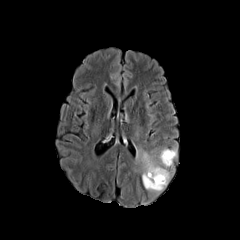
FLAIR MRI.
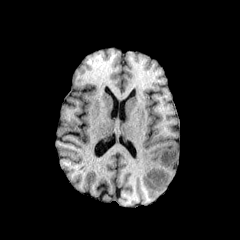
T1-weighted MR of the same slice.
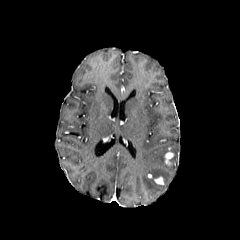
Post-contrast T1-weighted magnetic resonance.
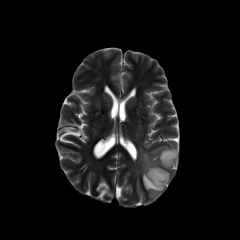
Same slice, T2-weighted MR image.
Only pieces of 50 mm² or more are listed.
<segmentation>
  <peritumoral_edema>l=136, t=147, r=177, b=194</peritumoral_edema>
  <enhancing_tumor>l=164, t=151, r=173, b=165; l=154, t=176, r=164, b=184</enhancing_tumor>
</segmentation>